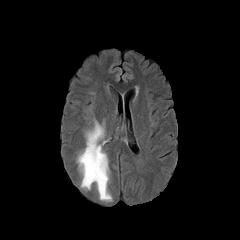
FLAIR magnetic resonance.
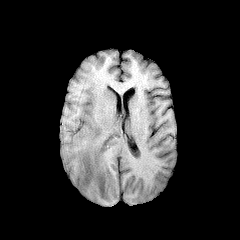
T1-weighted magnetic resonance.
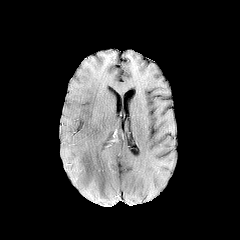
Same slice, post-contrast T1-weighted MRI.
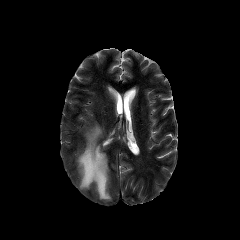
T2-weighted MRI.
Head.
peritumoral edema: box=[76, 118, 112, 201]